Image width 240 mm, 1.00 mm slice spacing, Slice index 94, Head, 240x240
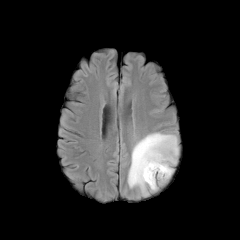
FLAIR magnetic resonance.
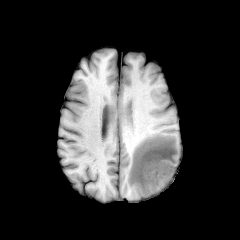
T1-weighted magnetic resonance.
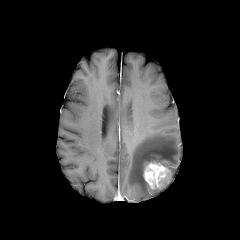
Post-contrast T1-weighted MR image.
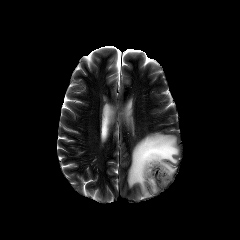
T2-weighted MR image.
The peritumoral edema lies within [x1=128, y1=132, x2=178, y2=196]. The enhancing tumor is bounded by [x1=143, y1=161, x2=171, y2=189].